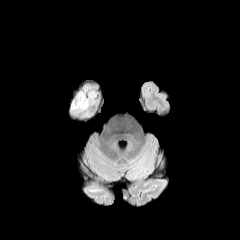
FLAIR MR.
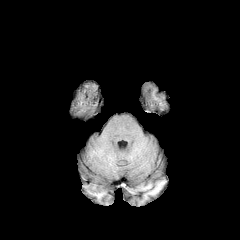
T1-weighted magnetic resonance.
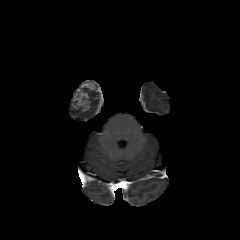
Post-contrast T1-weighted magnetic resonance of the same slice.
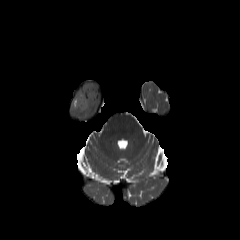
T2-weighted MR.
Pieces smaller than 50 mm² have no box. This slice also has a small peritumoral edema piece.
<segmentation>
  <enhancing_tumor><bbox>73, 92, 87, 108</bbox></enhancing_tumor>
</segmentation>